FLAIR MR.
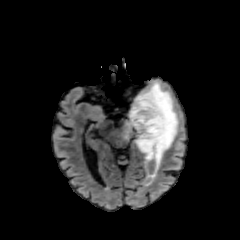
T1-weighted MR image.
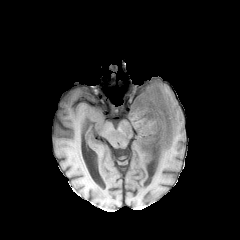
Post-contrast T1-weighted MRI.
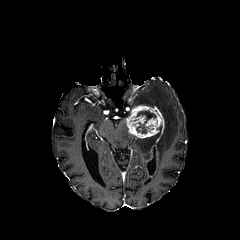
T2-weighted MR image.
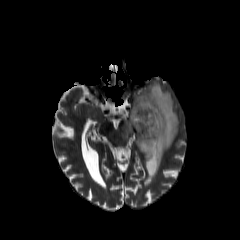
Axial view.
The enhancing tumor appears at [125,104,164,185]. The peritumoral edema lies within [121,81,178,188]. The necrotic tumor core is located at [136,110,156,133].